FLAIR MRI.
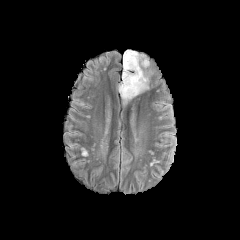
T1-weighted MR image.
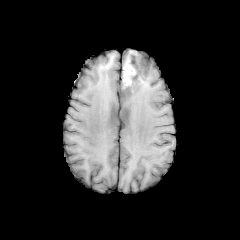
Post-contrast T1-weighted MR.
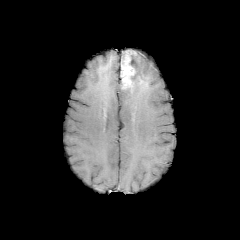
T2-weighted MR image.
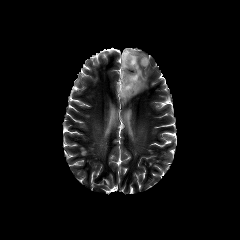
Head; Axial plane; Image size 240x240
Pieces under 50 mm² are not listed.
The largest peritumoral edema region is bounded by x1=118, y1=52, x2=149, y2=103. The largest enhancing tumor region lies within x1=121, y1=50, x2=135, y2=91. The largest necrotic tumor core region is at x1=129, y1=52, x2=144, y2=89.